FLAIR magnetic resonance.
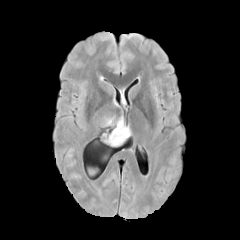
T1-weighted MR image.
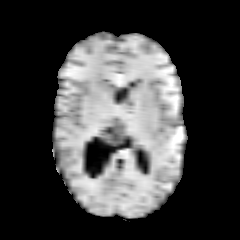
Post-contrast T1-weighted MR.
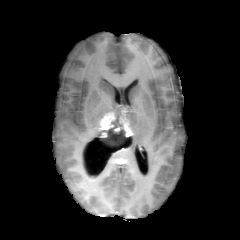
T2-weighted MR image.
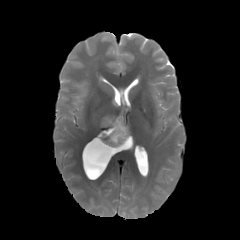
240x240
necrotic tumor core: box=[100, 119, 128, 147] | enhancing tumor: box=[99, 112, 116, 137]; box=[113, 116, 133, 136]